FLAIR MRI.
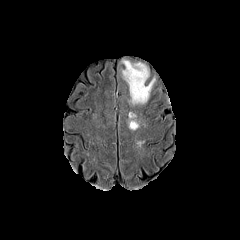
T1-weighted MRI.
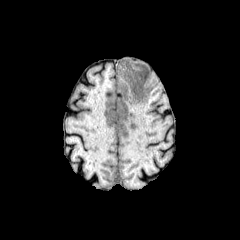
Post-contrast T1-weighted MRI.
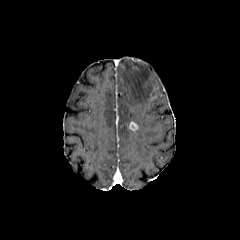
T2-weighted magnetic resonance.
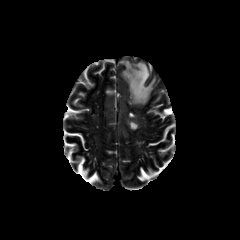
Axial plane
peritumoral edema — [121, 60, 155, 105], [128, 112, 139, 126]
enhancing tumor — [129, 121, 138, 130]